FLAIR MR image.
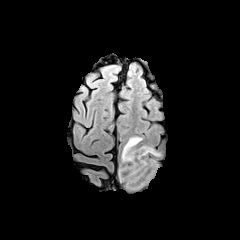
T1-weighted magnetic resonance.
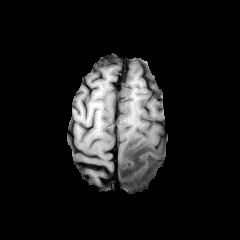
Post-contrast T1-weighted magnetic resonance.
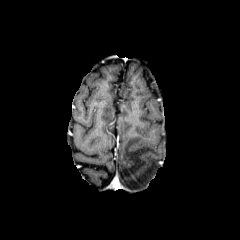
T2-weighted MR.
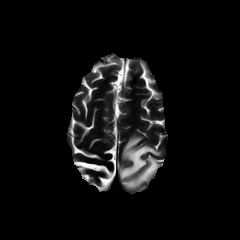
Annotated regions:
• peritumoral edema: l=119, t=136, r=160, b=189